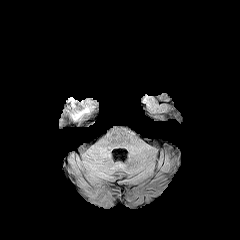
FLAIR magnetic resonance.
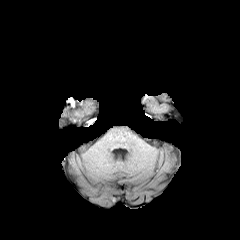
T1-weighted MR image.
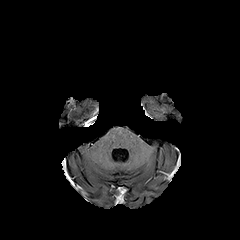
Post-contrast T1-weighted magnetic resonance.
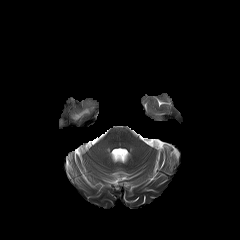
T2-weighted magnetic resonance.
Axial plane
* peritumoral edema: box=[72, 108, 89, 119]